FLAIR MR.
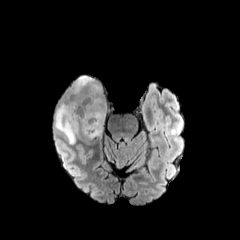
T1-weighted MR image.
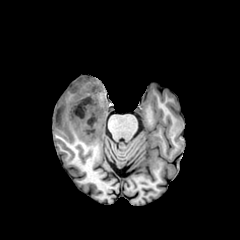
Post-contrast T1-weighted magnetic resonance.
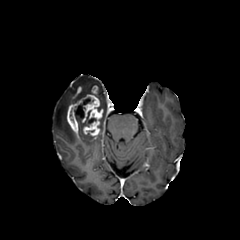
T2-weighted MR image.
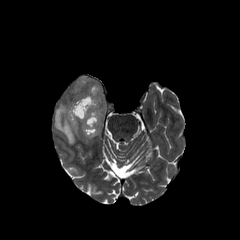
Axial plane. Head.
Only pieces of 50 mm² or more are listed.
<segmentation>
  <necrotic_tumor_core><box>75,98,90,118</box></necrotic_tumor_core>
  <peritumoral_edema><box>72,76,106,135</box>, <box>54,102,76,144</box></peritumoral_edema>
  <enhancing_tumor><box>67,85,103,137</box></enhancing_tumor>
</segmentation>